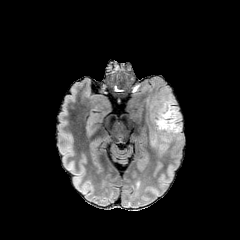
FLAIR MR.
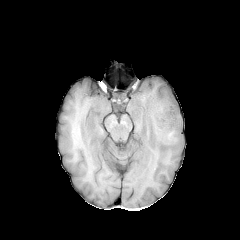
T1-weighted magnetic resonance.
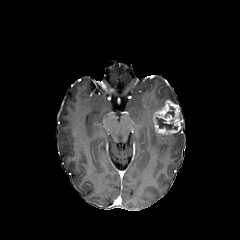
Same slice, post-contrast T1-weighted MR.
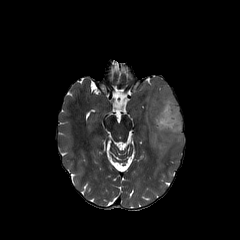
T2-weighted magnetic resonance.
Brain.
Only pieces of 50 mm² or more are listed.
Annotated regions:
• necrotic tumor core: [x1=165, y1=106, x2=174, y2=117], [x1=156, y1=117, x2=177, y2=129]
• enhancing tumor: [x1=153, y1=100, x2=182, y2=135]
• peritumoral edema: [x1=147, y1=89, x2=183, y2=155]